FLAIR MRI.
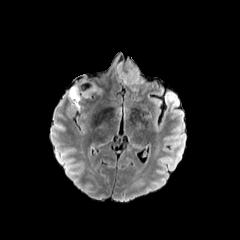
T1-weighted MRI.
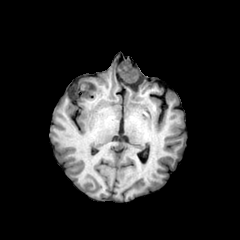
Post-contrast T1-weighted MR.
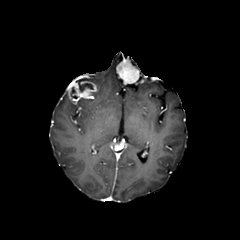
T2-weighted MR.
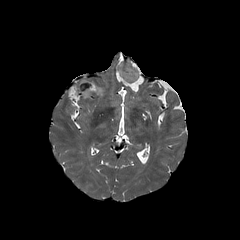
Head. Axial plane.
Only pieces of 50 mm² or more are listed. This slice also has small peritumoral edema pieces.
necrotic tumor core — 79:83:93:91
enhancing tumor — 67:81:98:103, 116:59:141:84